Brain, Slice 74/155, 240x240 px
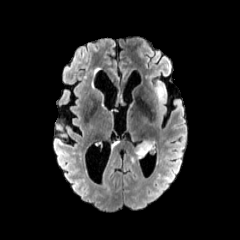
FLAIR MR image.
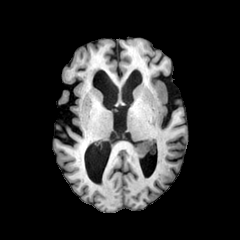
T1-weighted MR.
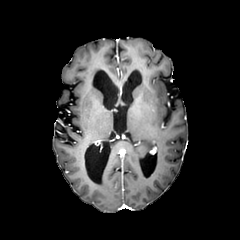
Post-contrast T1-weighted magnetic resonance of the same slice.
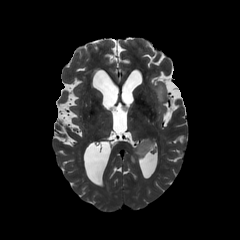
T2-weighted MR image.
peritumoral_edema:
  - 131:140:154:162